Slice index 53; Brain; Axial slice
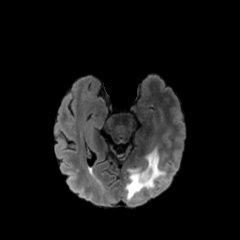
FLAIR MRI.
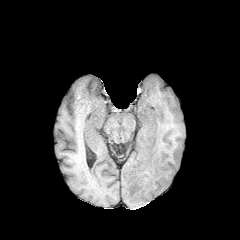
T1-weighted magnetic resonance.
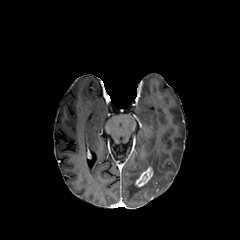
Post-contrast T1-weighted MRI.
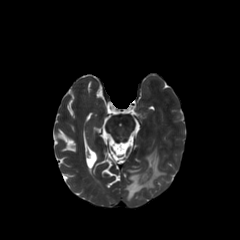
T2-weighted MR image.
The peritumoral edema lies within left=125, top=149, right=164, bottom=200. The enhancing tumor appears at left=135, top=166, right=153, bottom=187.